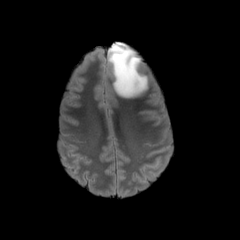
FLAIR MRI.
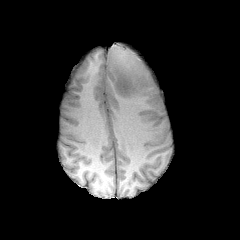
T1-weighted MRI.
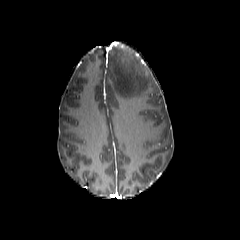
Post-contrast T1-weighted MR image.
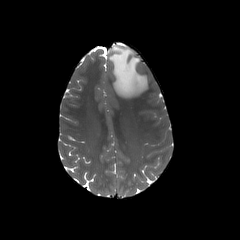
T2-weighted MR of the same slice.
Head
peritumoral edema — [x1=108, y1=42, x2=147, y2=97]